Head; 240x240; Slice index 31; Image width 240 mm, 1.00 mm slice spacing; Axial view
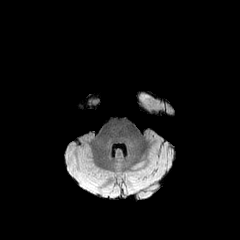
FLAIR magnetic resonance.
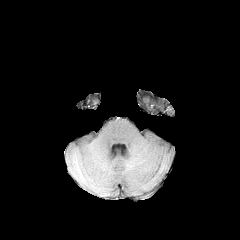
T1-weighted MR image of the same slice.
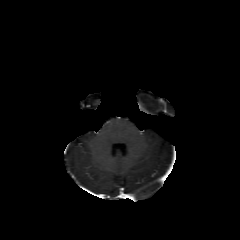
Post-contrast T1-weighted MRI.
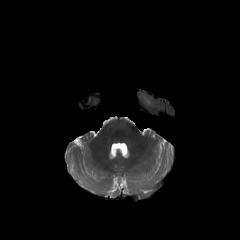
T2-weighted magnetic resonance.
<segmentation>
  <peritumoral_edema>region(141, 95, 149, 103)</peritumoral_edema>
</segmentation>